Slice 64 of 155; Brain; Axial plane; Image covers 240 mm x 240 mm
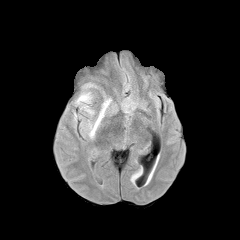
FLAIR magnetic resonance.
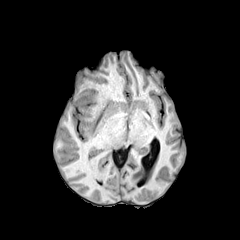
T1-weighted MRI.
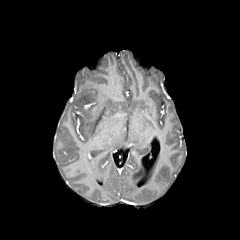
Post-contrast T1-weighted MRI of the same slice.
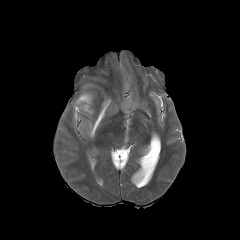
T2-weighted MRI of the same slice.
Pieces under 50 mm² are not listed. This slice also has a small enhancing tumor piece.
{
  "peritumoral_edema": [
    "[89,99,111,137]",
    "[76,93,91,104]"
  ]
}